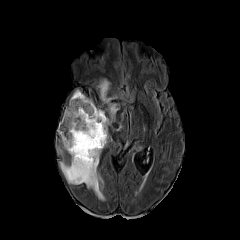
FLAIR magnetic resonance.
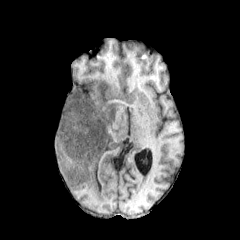
T1-weighted MR image.
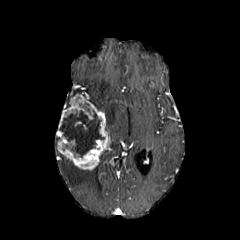
Post-contrast T1-weighted magnetic resonance.
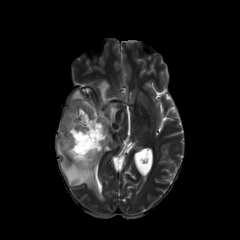
T2-weighted magnetic resonance of the same slice.
Brain; Axial view
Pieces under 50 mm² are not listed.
The largest necrotic tumor core region is at l=59, t=110, r=104, b=157. The largest enhancing tumor region lies within l=56, t=93, r=109, b=169. The 2 largest peritumoral edema regions appear at l=60, t=160, r=104, b=200; l=97, t=79, r=118, b=130.